FLAIR magnetic resonance.
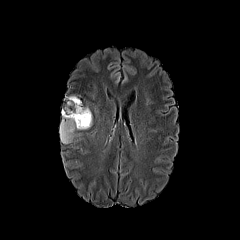
T1-weighted MR.
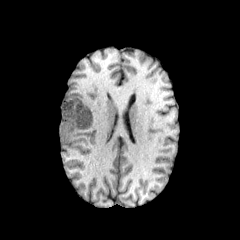
Post-contrast T1-weighted MRI.
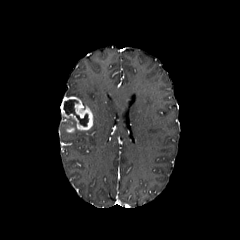
T2-weighted MR image.
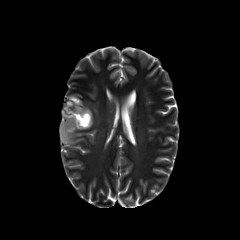
Head
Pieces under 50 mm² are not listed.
The largest peritumoral edema region is bounded by <box>60,117,79,143</box>. The necrotic tumor core is at <box>64,99,88,126</box>. The largest enhancing tumor region is located at <box>61,96,93,130</box>.